Image width 240 mm | Slice 60/155
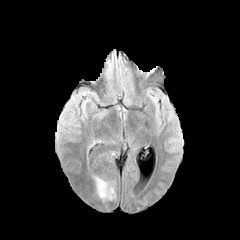
FLAIR magnetic resonance.
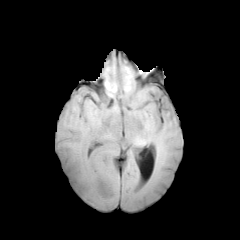
Same slice, T1-weighted MR image.
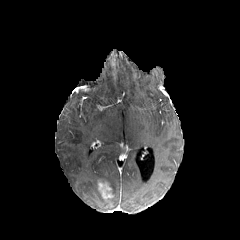
Post-contrast T1-weighted MRI.
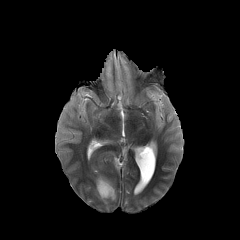
T2-weighted MR image of the same slice.
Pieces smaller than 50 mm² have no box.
The largest peritumoral edema region is located at [95,177,105,198]. The enhancing tumor is at [98,180,113,200].